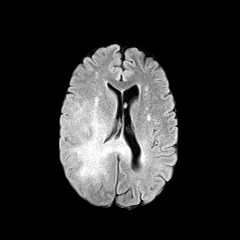
FLAIR MR image.
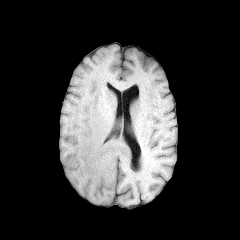
Same slice, T1-weighted MR image.
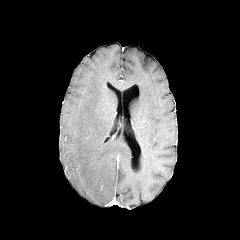
Post-contrast T1-weighted MR image of the same slice.
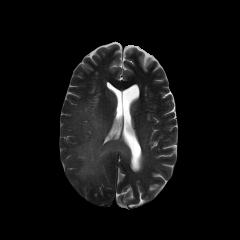
T2-weighted MR image.
peritumoral_edema:
  - 71,97,129,181